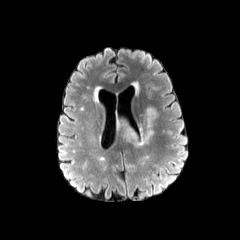
FLAIR MR.
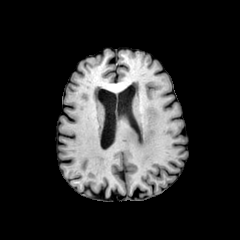
Same slice, T1-weighted magnetic resonance.
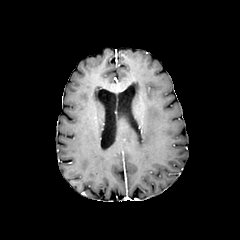
Post-contrast T1-weighted magnetic resonance of the same slice.
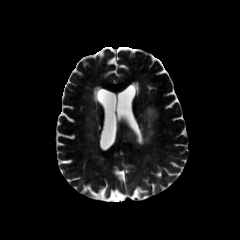
T2-weighted MR.
Brain.
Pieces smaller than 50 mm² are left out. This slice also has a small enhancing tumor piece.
peritumoral edema — {"x1": 118, "y1": 106, "x2": 157, "y2": 146}